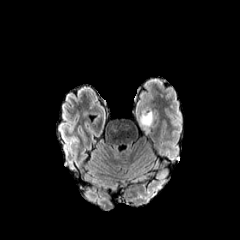
FLAIR MR.
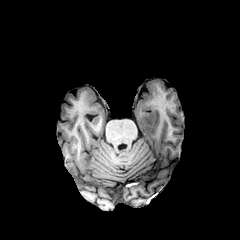
T1-weighted magnetic resonance of the same slice.
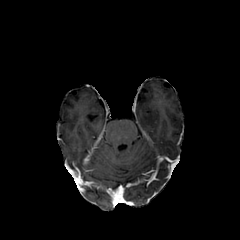
Post-contrast T1-weighted MRI of the same slice.
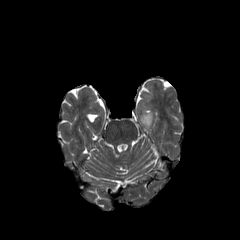
T2-weighted MR image.
Axial plane; Head
Annotated regions:
- peritumoral edema: (x1=139, y1=112, x2=153, y2=132)